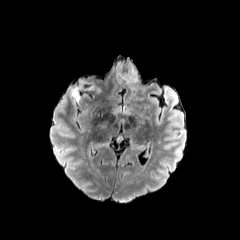
FLAIR MR.
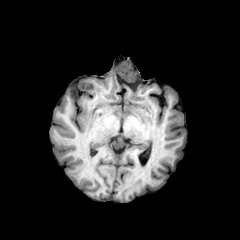
T1-weighted MR.
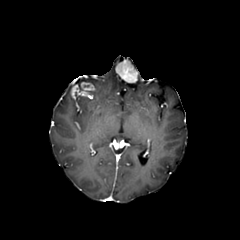
Post-contrast T1-weighted MRI.
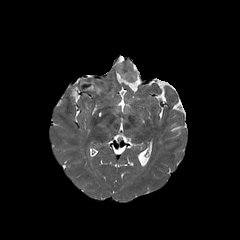
T2-weighted MR image.
240x240
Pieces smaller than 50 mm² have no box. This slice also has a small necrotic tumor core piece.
2 enhancing tumor regions are bounded by (x1=115, y1=60, x2=138, y2=84), (x1=69, y1=81, x2=95, y2=100). The largest peritumoral edema region is located at (x1=116, y1=73, x2=125, y2=83).